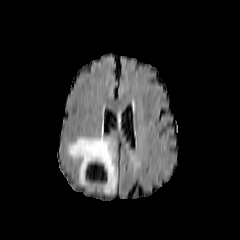
FLAIR magnetic resonance.
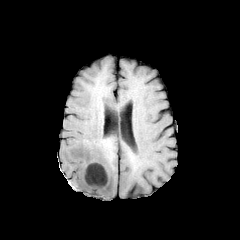
T1-weighted MR image of the same slice.
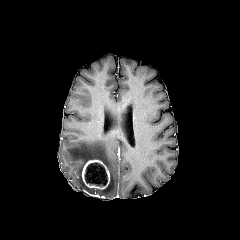
Post-contrast T1-weighted MR image.
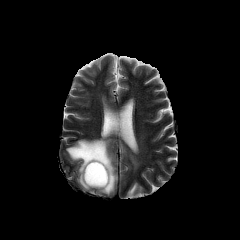
Same slice, T2-weighted magnetic resonance.
{
  "peritumoral_edema": [
    "rect(67, 131, 117, 194)"
  ],
  "enhancing_tumor": [
    "rect(82, 159, 110, 189)"
  ],
  "necrotic_tumor_core": [
    "rect(85, 163, 107, 186)"
  ]
}